Axial view
FLAIR MR.
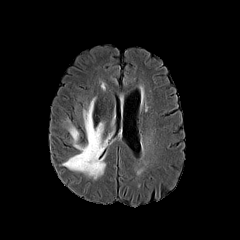
T1-weighted MR image.
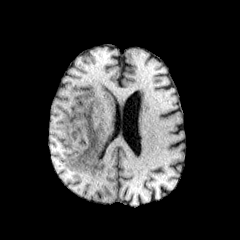
Post-contrast T1-weighted MR image.
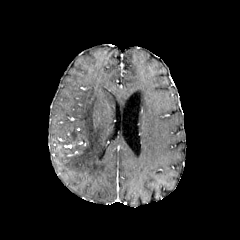
T2-weighted magnetic resonance.
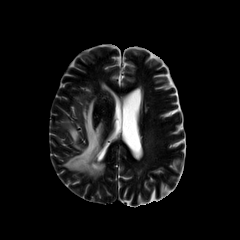
peritumoral_edema:
  - box=[63, 98, 107, 178]